FLAIR MR image.
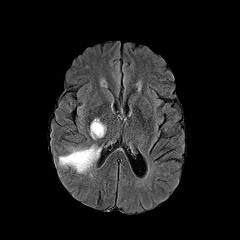
T1-weighted MR image.
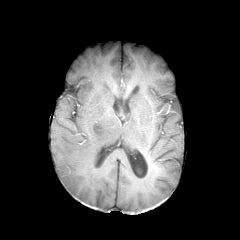
Post-contrast T1-weighted MRI.
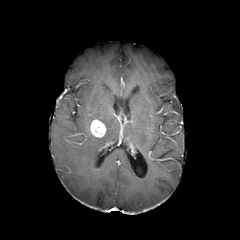
T2-weighted MRI.
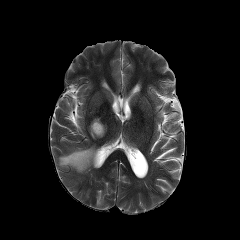
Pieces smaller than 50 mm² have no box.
The enhancing tumor appears at 90 119 105 137. The largest peritumoral edema region is bounded by 58 145 100 173.